Image covers 240 mm x 240 mm
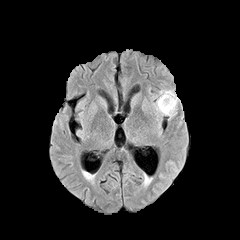
FLAIR MR.
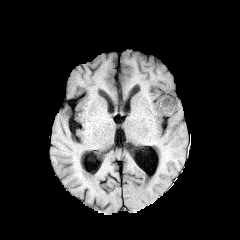
T1-weighted MR.
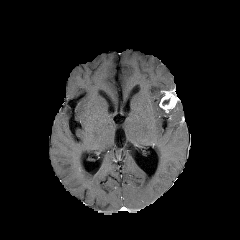
Post-contrast T1-weighted MR.
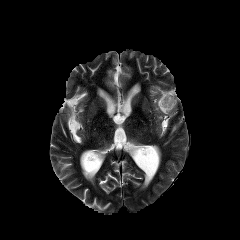
T2-weighted magnetic resonance.
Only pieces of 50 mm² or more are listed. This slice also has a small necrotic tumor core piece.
enhancing tumor: bbox(159, 89, 179, 112)
peritumoral edema: bbox(156, 94, 175, 116)